Axial plane, Brain
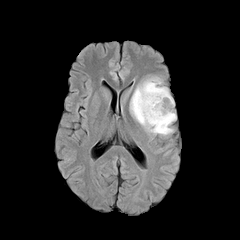
FLAIR MRI.
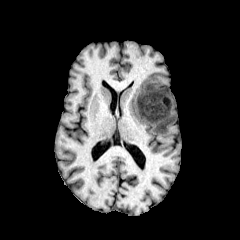
Same slice, T1-weighted magnetic resonance.
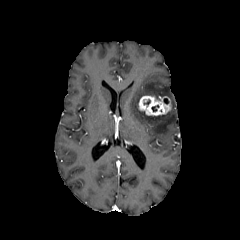
Post-contrast T1-weighted MR of the same slice.
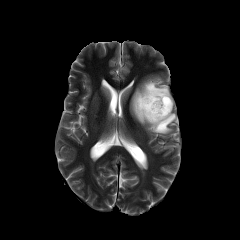
T2-weighted MRI of the same slice.
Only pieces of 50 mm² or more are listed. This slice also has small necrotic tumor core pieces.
{"peritumoral_edema": ["[130,77,176,134]"], "enhancing_tumor": ["[138,95,171,116]"]}